FLAIR MR image.
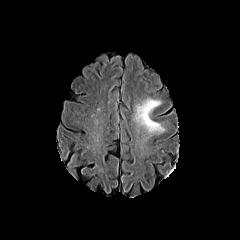
T1-weighted MR.
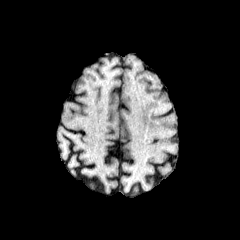
Post-contrast T1-weighted MR.
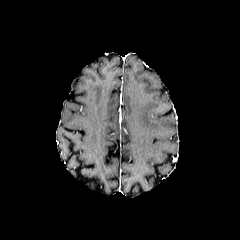
T2-weighted MR image.
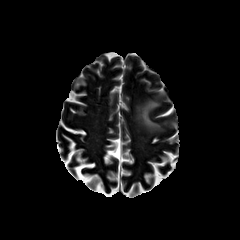
Head, Axial plane
peritumoral edema: (x1=134, y1=99, x2=164, y2=133)